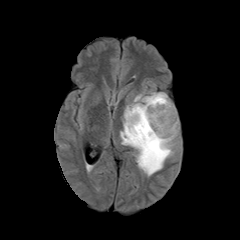
FLAIR MR image.
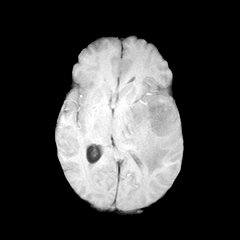
T1-weighted MR image of the same slice.
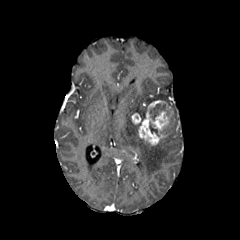
Post-contrast T1-weighted MR.
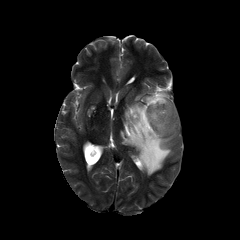
T2-weighted MRI.
Brain
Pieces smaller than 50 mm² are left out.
<segmentation>
  <necrotic_tumor_core>(149,104,165,120), (149,122,159,136)</necrotic_tumor_core>
  <enhancing_tumor>(131,100,174,145)</enhancing_tumor>
  <peritumoral_edema>(120,85,178,175)</peritumoral_edema>
</segmentation>